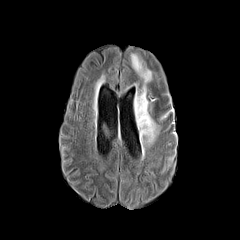
FLAIR magnetic resonance.
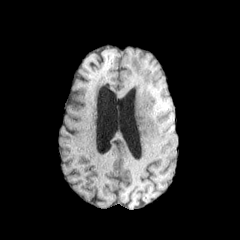
T1-weighted MR image.
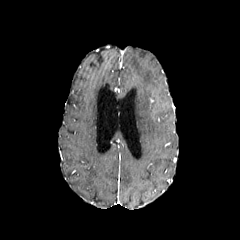
Post-contrast T1-weighted MRI of the same slice.
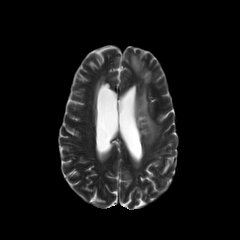
T2-weighted MR of the same slice.
Head
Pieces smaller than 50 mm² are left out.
The largest peritumoral edema region is located at [x1=131, y1=54, x2=155, y2=156].